Axial plane; Head; Image width 240 mm; Slice 123/155
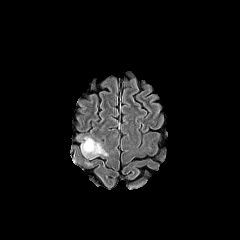
FLAIR MRI.
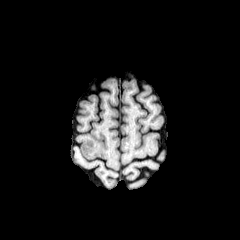
T1-weighted MR of the same slice.
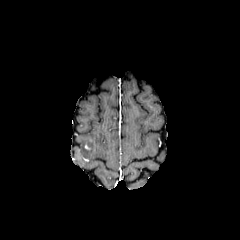
Post-contrast T1-weighted magnetic resonance.
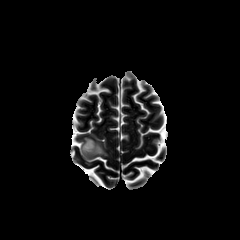
Same slice, T2-weighted MR.
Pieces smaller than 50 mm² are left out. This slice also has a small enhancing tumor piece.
{"peritumoral_edema": ["81 137 107 157"]}